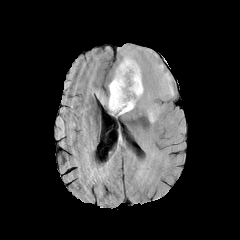
FLAIR magnetic resonance.
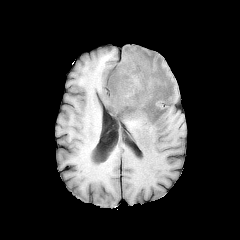
Same slice, T1-weighted MRI.
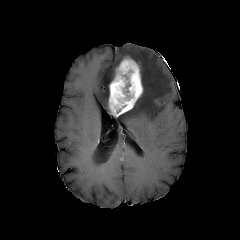
Post-contrast T1-weighted MR image.
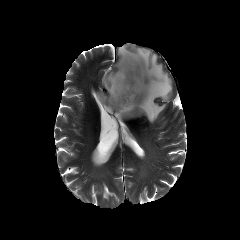
T2-weighted MRI of the same slice.
240x240. Brain.
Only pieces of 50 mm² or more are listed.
{"peritumoral_edema": ["(x1=96, y1=91, x2=108, y2=107)", "(x1=118, y1=45, x2=174, y2=123)"], "enhancing_tumor": ["(x1=108, y1=57, x2=143, y2=116)"]}